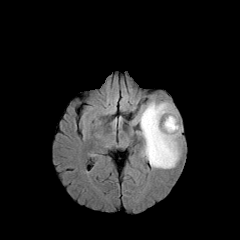
FLAIR magnetic resonance.
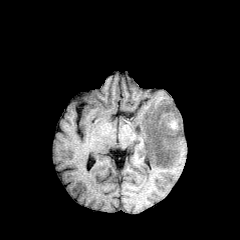
T1-weighted magnetic resonance of the same slice.
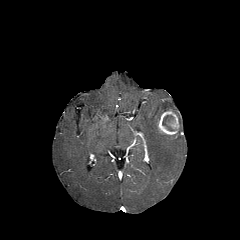
Post-contrast T1-weighted magnetic resonance.
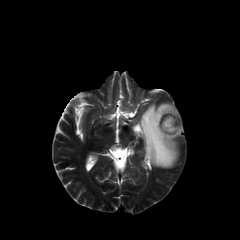
T2-weighted MR.
Axial plane; Brain
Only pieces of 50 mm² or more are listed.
<segmentation>
  <necrotic_tumor_core>[x1=162, y1=115, x2=174, y2=131]</necrotic_tumor_core>
  <peritumoral_edema>[x1=134, y1=101, x2=182, y2=168]</peritumoral_edema>
  <enhancing_tumor>[x1=157, y1=108, x2=179, y2=137]</enhancing_tumor>
</segmentation>